Slice index 78; Head; Axial plane
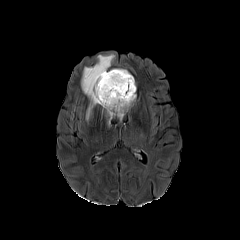
FLAIR magnetic resonance.
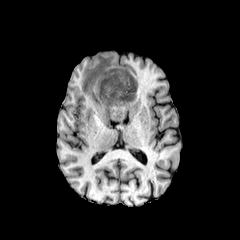
T1-weighted MR.
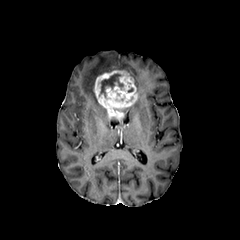
Post-contrast T1-weighted magnetic resonance.
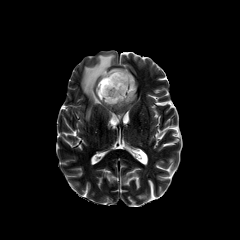
Same slice, T2-weighted MR.
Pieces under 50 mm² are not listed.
The peritumoral edema is located at x1=81 y1=54 x2=127 y2=119. The largest necrotic tumor core region is at x1=101 y1=74 x2=123 y2=96. The enhancing tumor is located at x1=94 y1=70 x2=136 y2=120.